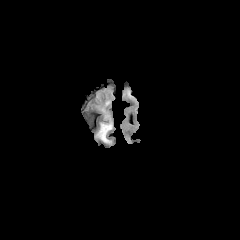
FLAIR MRI.
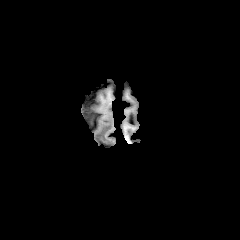
Same slice, T1-weighted MR image.
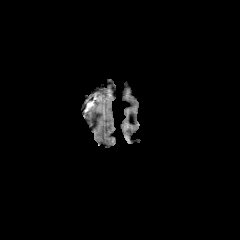
Post-contrast T1-weighted MR of the same slice.
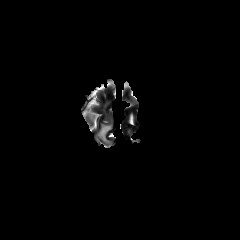
T2-weighted MRI.
Findings:
• peritumoral edema: 94, 87, 114, 143
• enhancing tumor: 84, 102, 93, 112